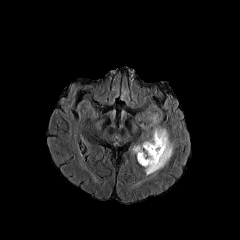
FLAIR MR.
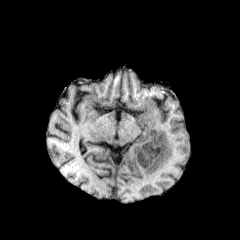
T1-weighted MRI of the same slice.
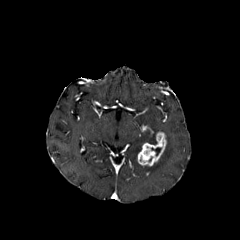
Post-contrast T1-weighted MR.
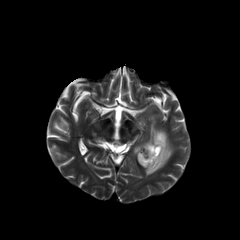
T2-weighted MR.
240x240, Brain
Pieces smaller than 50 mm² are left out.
The enhancing tumor lies within [x1=137, y1=131, x2=166, y2=166]. The 2 largest peritumoral edema regions are bounded by [x1=145, y1=127, x2=174, y2=176], [x1=133, y1=144, x2=141, y2=154]. The largest necrotic tumor core region appears at [x1=151, y1=147, x2=161, y2=156].